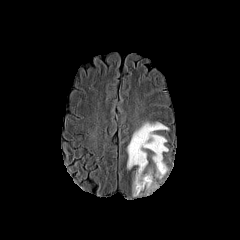
FLAIR magnetic resonance.
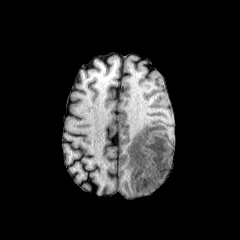
Same slice, T1-weighted MR image.
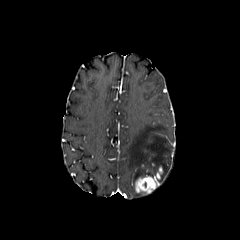
Post-contrast T1-weighted MR.
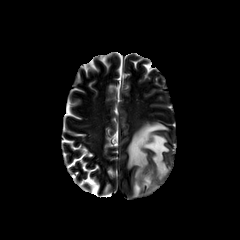
T2-weighted MR.
Axial plane | Brain
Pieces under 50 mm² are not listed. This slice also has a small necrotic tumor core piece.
The largest enhancing tumor region appears at [x1=135, y1=166, x2=163, y2=193]. The largest peritumoral edema region lies within [x1=127, y1=122, x2=168, y2=196].